Image covers 240 mm x 240 mm
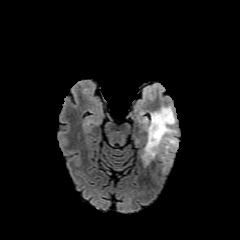
FLAIR MR.
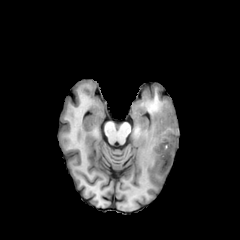
T1-weighted MRI.
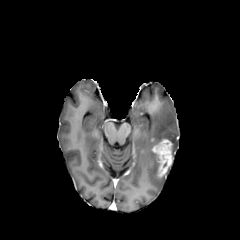
Same slice, post-contrast T1-weighted MR image.
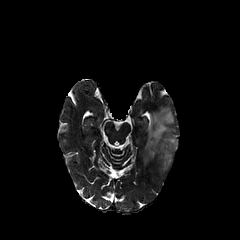
T2-weighted MRI of the same slice.
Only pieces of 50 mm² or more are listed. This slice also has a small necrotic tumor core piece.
The enhancing tumor is at left=152, top=139, right=172, bottom=175. The peritumoral edema is bounded by left=143, top=107, right=177, bottom=163.